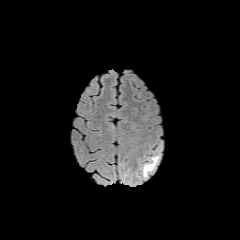
FLAIR MRI.
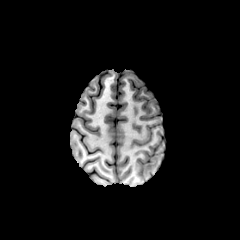
T1-weighted MRI of the same slice.
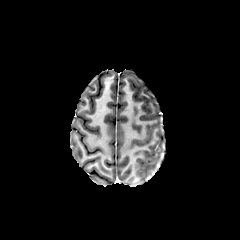
Post-contrast T1-weighted magnetic resonance of the same slice.
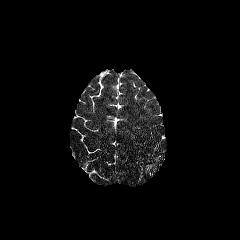
Same slice, T2-weighted MR image.
Brain | Axial slice
{"peritumoral_edema": ["(left=143, top=156, right=159, bottom=176)"]}